Slice 91/155
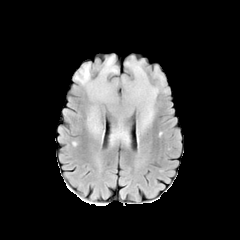
FLAIR MR image.
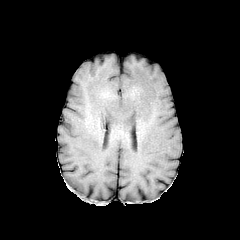
Same slice, T1-weighted MRI.
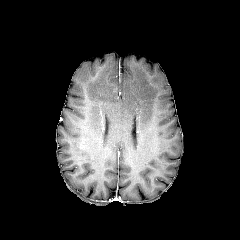
Same slice, post-contrast T1-weighted MR.
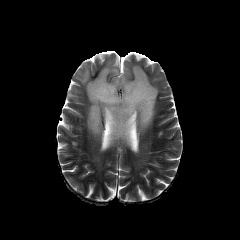
Same slice, T2-weighted magnetic resonance.
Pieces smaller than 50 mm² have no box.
peritumoral edema: bounding box left=154, top=67, right=164, bottom=85; left=75, top=55, right=159, bottom=143